Axial view; 240x240 px; Image width 240 mm; Slice index 85
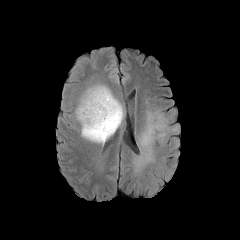
FLAIR MR image.
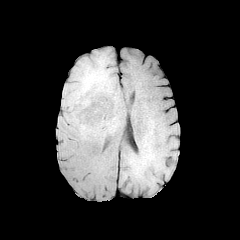
T1-weighted MRI of the same slice.
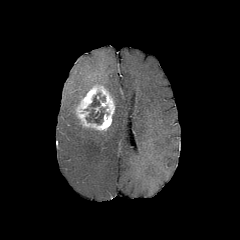
Post-contrast T1-weighted MR.
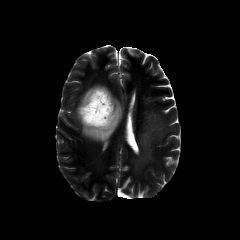
Same slice, T2-weighted MRI.
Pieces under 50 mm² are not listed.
necrotic_tumor_core:
  - [85, 92, 105, 124]
enhancing_tumor:
  - [76, 84, 115, 130]
peritumoral_edema:
  - [134, 100, 179, 170]
  - [74, 85, 123, 143]